Axial plane | Slice index 115 | Head | 240x240
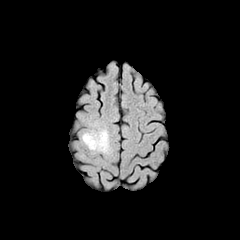
FLAIR MR image.
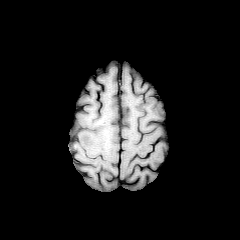
Same slice, T1-weighted MRI.
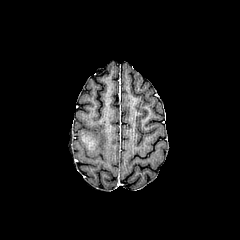
Post-contrast T1-weighted magnetic resonance.
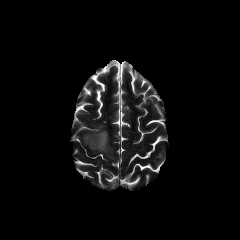
T2-weighted MR image.
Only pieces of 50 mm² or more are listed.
The largest peritumoral edema region appears at {"x1": 81, "y1": 128, "x2": 114, "y2": 154}. The enhancing tumor lies within {"x1": 81, "y1": 135, "x2": 96, "y2": 150}.